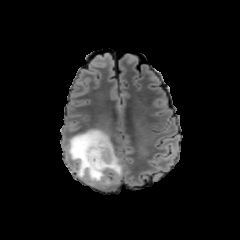
FLAIR magnetic resonance.
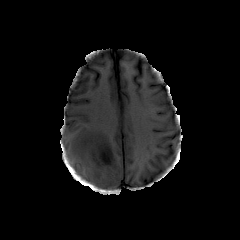
Same slice, T1-weighted MR image.
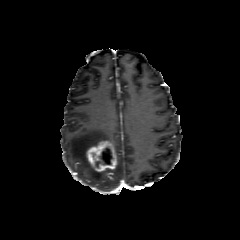
Same slice, post-contrast T1-weighted MRI.
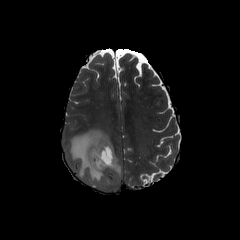
Same slice, T2-weighted MR.
Brain, Image size 240x240, Axial view
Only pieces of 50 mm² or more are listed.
enhancing tumor: bounding box (x1=86, y1=140, x2=117, y2=171)
peritumoral edema: bounding box (x1=67, y1=129, x2=122, y2=186)
necrotic tumor core: bounding box (x1=95, y1=147, x2=112, y2=167)